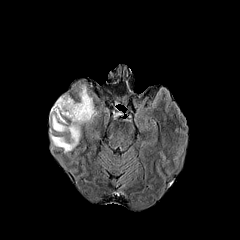
FLAIR MRI.
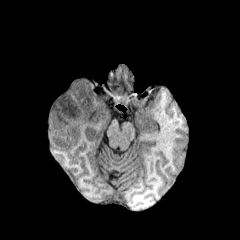
T1-weighted magnetic resonance.
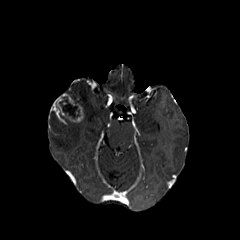
Same slice, post-contrast T1-weighted MR.
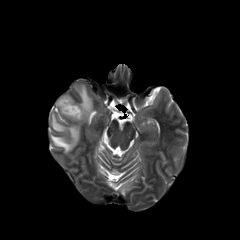
T2-weighted MR.
Axial view; Head
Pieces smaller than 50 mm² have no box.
peritumoral edema: rect(50, 85, 96, 153) | necrotic tumor core: rect(59, 97, 79, 118) | enhancing tumor: rect(50, 93, 83, 124)